Axial view; 240x240; Slice 104/155
FLAIR MR image.
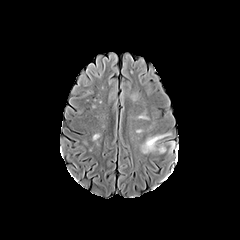
T1-weighted MR image.
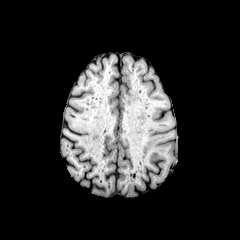
Post-contrast T1-weighted MR image.
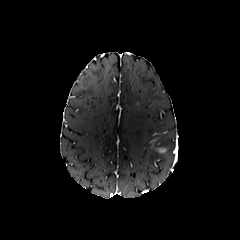
T2-weighted MR image.
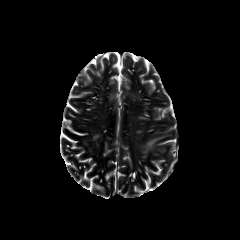
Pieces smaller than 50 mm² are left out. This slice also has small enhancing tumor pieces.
peritumoral edema = bbox(141, 134, 170, 153)